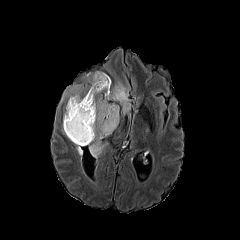
FLAIR MR.
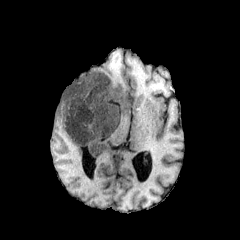
T1-weighted MR.
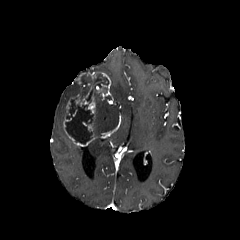
Post-contrast T1-weighted MR image.
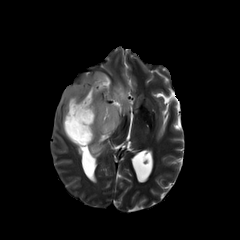
T2-weighted magnetic resonance.
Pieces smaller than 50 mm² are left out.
enhancing tumor: bbox(63, 72, 111, 146) | peritumoral edema: bbox(89, 79, 130, 157); bbox(60, 74, 89, 104) | necrotic tumor core: bbox(86, 89, 93, 103); bbox(65, 97, 93, 143)